Image size 240x240. Axial view. Slice index 61. Brain.
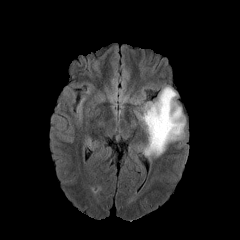
FLAIR MR image.
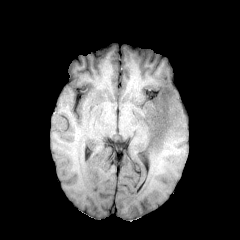
T1-weighted MRI.
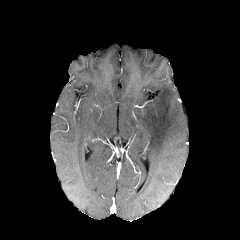
Post-contrast T1-weighted MR.
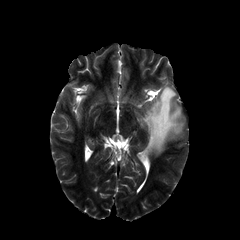
T2-weighted magnetic resonance.
{
  "peritumoral_edema": [
    "left=137, top=86, right=185, bottom=156"
  ]
}